FLAIR MR image.
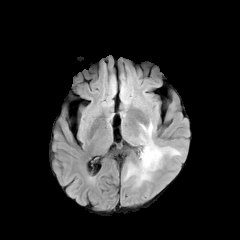
T1-weighted MRI.
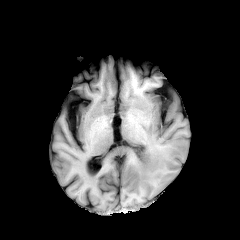
Post-contrast T1-weighted magnetic resonance.
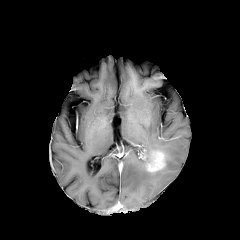
T2-weighted MR image.
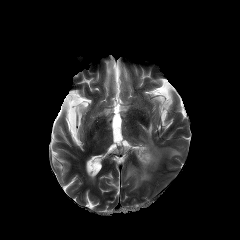
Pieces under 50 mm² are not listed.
Annotated regions:
- peritumoral edema: x1=125, y1=159, x2=150, y2=186; x1=140, y1=123, x2=180, y2=155
- enhancing tumor: x1=140, y1=151, x2=164, y2=171